FLAIR MR.
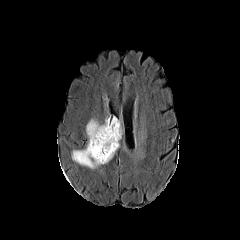
T1-weighted MRI.
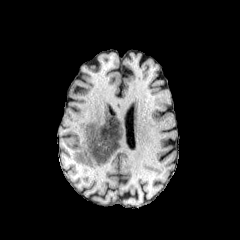
Post-contrast T1-weighted magnetic resonance.
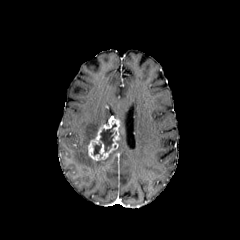
T2-weighted magnetic resonance.
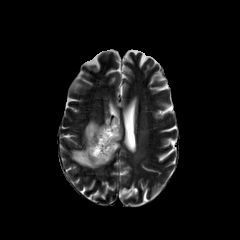
240x240. Head. Axial plane.
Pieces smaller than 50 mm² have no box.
The 2 largest necrotic tumor core regions appear at (x1=93, y1=142, x2=101, y2=155), (x1=100, y1=124, x2=116, y2=152). The largest peritumoral edema region is bounded by (x1=72, y1=119, x2=115, y2=169). The enhancing tumor is located at (x1=88, y1=117, x2=120, y2=160).